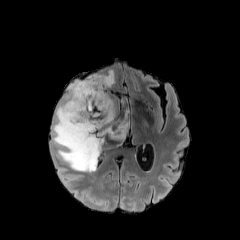
FLAIR magnetic resonance.
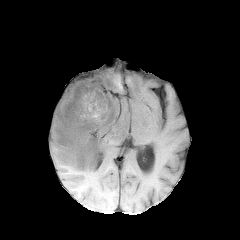
Same slice, T1-weighted magnetic resonance.
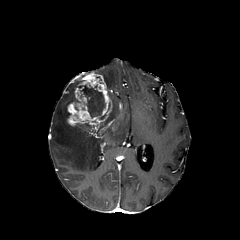
Post-contrast T1-weighted MR.
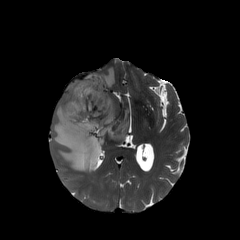
T2-weighted MR image of the same slice.
Head | Axial slice
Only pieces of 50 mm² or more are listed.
The enhancing tumor is located at bbox=[67, 73, 112, 135]. The 2 largest peritumoral edema regions appear at bbox=[96, 69, 115, 89]; bbox=[53, 79, 128, 171]. The largest necrotic tumor core region is bounded by bbox=[78, 85, 105, 119].